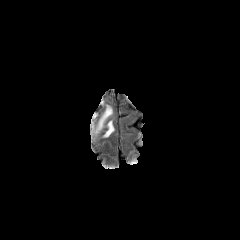
FLAIR MR.
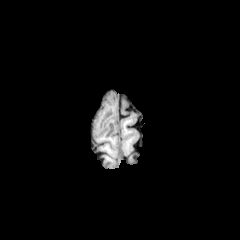
T1-weighted MR image.
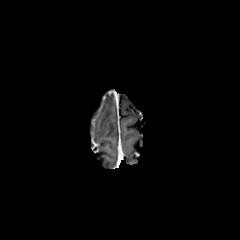
Post-contrast T1-weighted MRI.
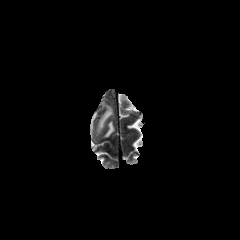
Same slice, T2-weighted MR image.
Image size 240x240
peritumoral_edema:
  - x1=95 y1=105 x2=112 y2=133
  - x1=103 y1=120 x2=114 y2=137